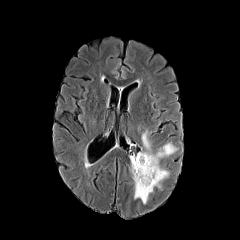
FLAIR MR image.
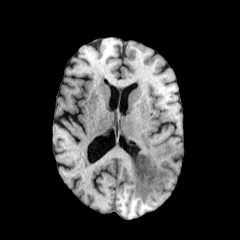
T1-weighted MRI of the same slice.
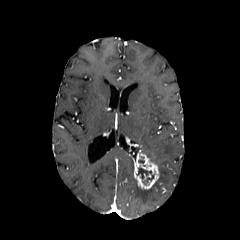
Same slice, post-contrast T1-weighted magnetic resonance.
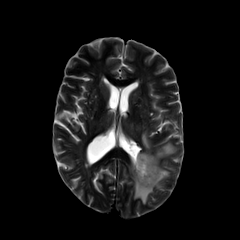
T2-weighted MR image of the same slice.
Axial slice.
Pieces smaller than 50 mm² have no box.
necrotic tumor core — 136 167 151 179
enhancing tumor — 132 151 159 189
peritumoral edema — 129 130 177 203